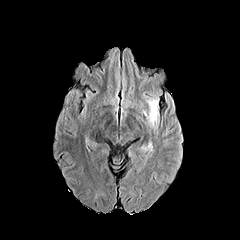
FLAIR MR image.
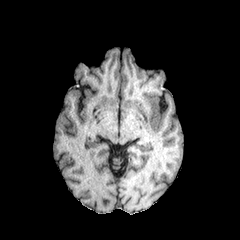
T1-weighted magnetic resonance of the same slice.
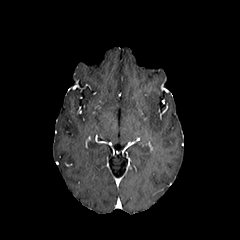
Post-contrast T1-weighted MR.
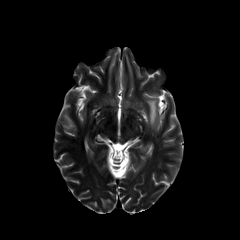
T2-weighted MRI.
Axial slice; Brain; Image size 240x240
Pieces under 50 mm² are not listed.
The largest peritumoral edema region lies within 147 99 157 125.